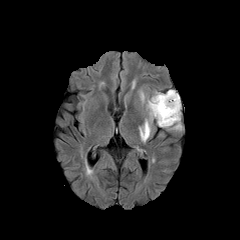
FLAIR MR.
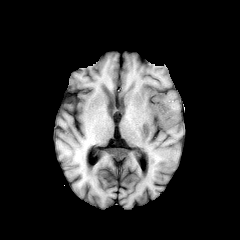
Same slice, T1-weighted magnetic resonance.
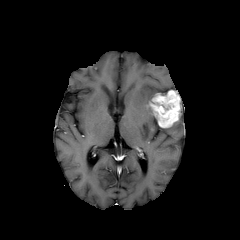
Post-contrast T1-weighted magnetic resonance.
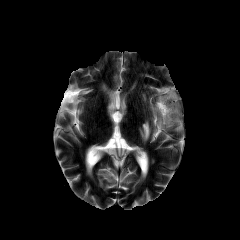
Same slice, T2-weighted MR image.
Axial view. 240x240. Brain.
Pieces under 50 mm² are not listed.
Segmented structures:
- peritumoral edema: rect(139, 120, 150, 142); rect(174, 116, 182, 130)
- enhancing tumor: rect(148, 90, 181, 127)